FLAIR MR.
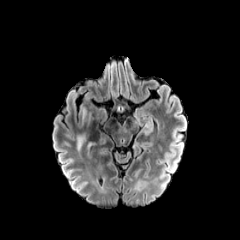
T1-weighted MR.
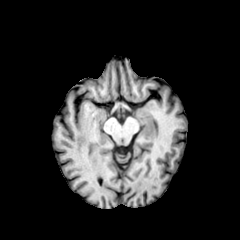
Post-contrast T1-weighted MR.
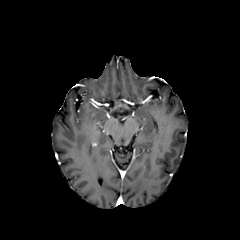
T2-weighted MR.
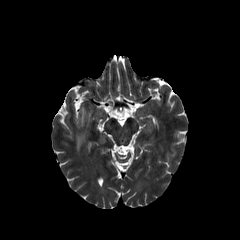
240x240
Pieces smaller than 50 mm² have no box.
peritumoral_edema:
  - bbox=[77, 136, 84, 149]